FLAIR magnetic resonance.
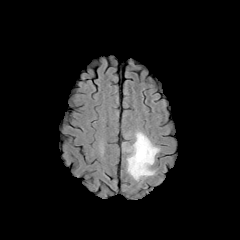
T1-weighted MRI.
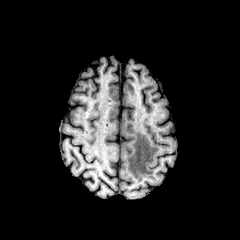
Post-contrast T1-weighted magnetic resonance.
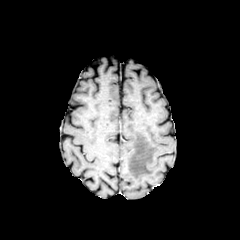
T2-weighted MR image.
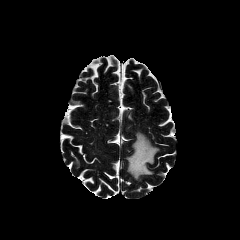
peritumoral edema: bounding box {"x1": 124, "y1": 131, "x2": 159, "y2": 180}